FLAIR magnetic resonance.
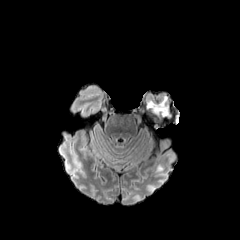
T1-weighted MRI.
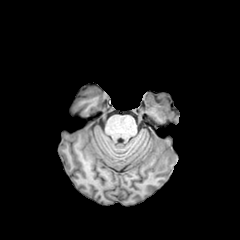
Post-contrast T1-weighted MRI.
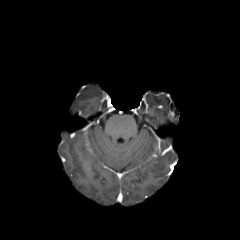
T2-weighted MRI.
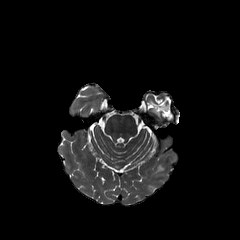
Axial slice
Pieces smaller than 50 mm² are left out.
<segmentation>
  <peritumoral_edema>box(145, 96, 171, 117)</peritumoral_edema>
</segmentation>